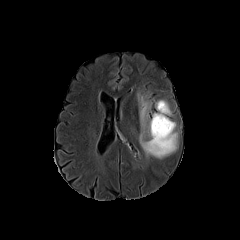
FLAIR magnetic resonance.
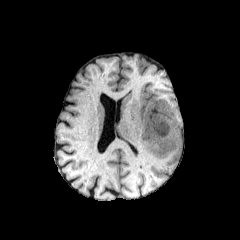
T1-weighted MRI.
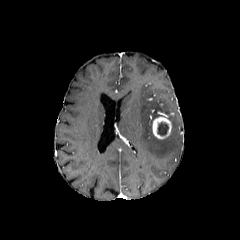
Same slice, post-contrast T1-weighted MR.
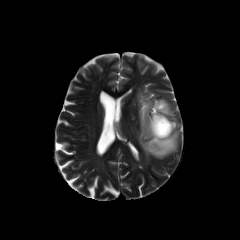
T2-weighted MR image.
Head. Axial view.
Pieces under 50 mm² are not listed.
The largest enhancing tumor region is bounded by <box>152,112,172,139</box>. The necrotic tumor core is located at <box>158,122,168,135</box>. 2 peritumoral edema regions are bounded by <box>137,93,178,158</box>, <box>155,100,171,115</box>.